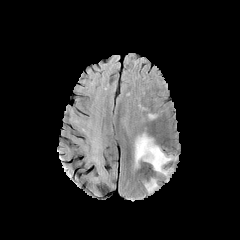
FLAIR MR.
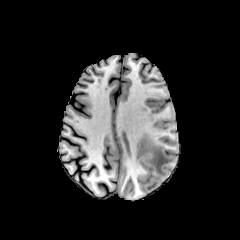
Same slice, T1-weighted magnetic resonance.
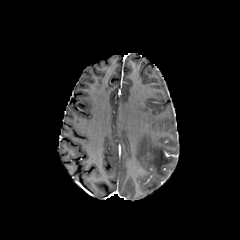
Post-contrast T1-weighted magnetic resonance of the same slice.
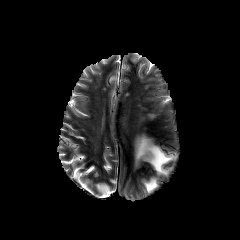
Same slice, T2-weighted MR.
Head
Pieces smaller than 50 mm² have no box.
peritumoral edema: bounding box x1=134 y1=133 x2=175 y2=175, x1=145 y1=179 x2=157 y2=191